Slice 90 of 155 | Head
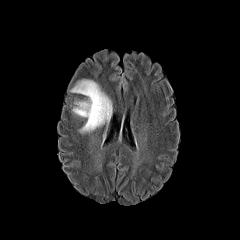
FLAIR MR image.
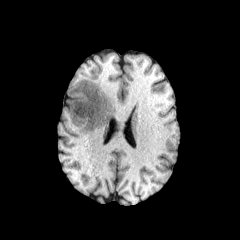
T1-weighted MR of the same slice.
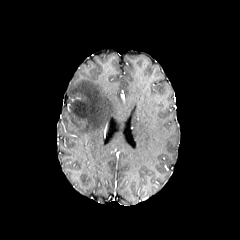
Post-contrast T1-weighted MR image of the same slice.
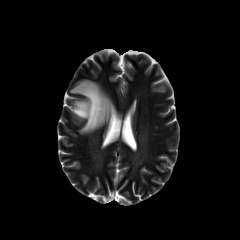
T2-weighted MR image.
<segmentation>
  <peritumoral_edema>x1=70, y1=79, x2=112, y2=133</peritumoral_edema>
</segmentation>